Axial plane. Slice index 122. 240x240.
FLAIR magnetic resonance.
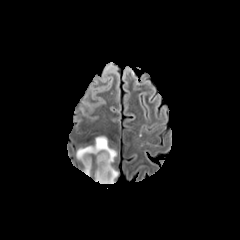
T1-weighted MR image.
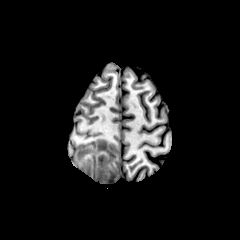
Post-contrast T1-weighted magnetic resonance.
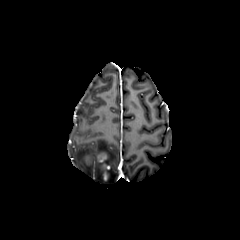
T2-weighted magnetic resonance.
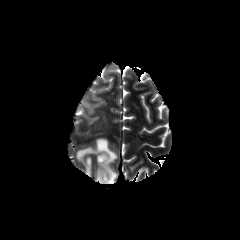
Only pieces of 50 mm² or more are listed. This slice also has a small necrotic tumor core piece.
peritumoral_edema:
  - [x1=76, y1=137, x2=118, y2=182]
enhancing_tumor:
  - [x1=85, y1=155, x2=91, y2=168]
  - [x1=98, y1=152, x2=106, y2=162]